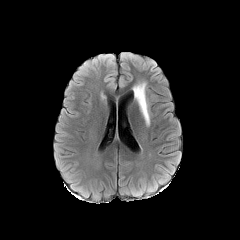
FLAIR magnetic resonance.
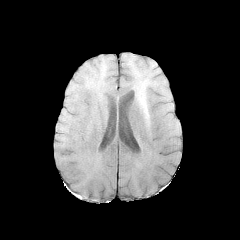
Same slice, T1-weighted MR.
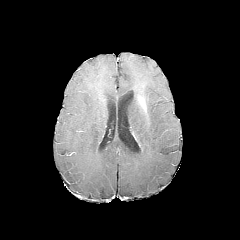
Post-contrast T1-weighted magnetic resonance.
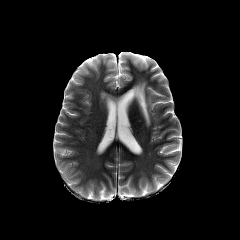
T2-weighted MR of the same slice.
Image size 240x240
<segmentation>
  <enhancing_tumor>(left=138, top=96, right=145, bottom=110)</enhancing_tumor>
  <peritumoral_edema>(left=133, top=82, right=149, bottom=125)</peritumoral_edema>
</segmentation>